Image size 240x240 | Slice index 109 | Brain | Image width 240 mm, 1.00 mm slice spacing
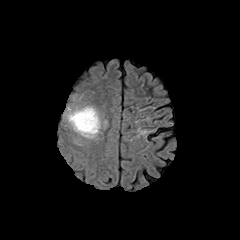
FLAIR magnetic resonance.
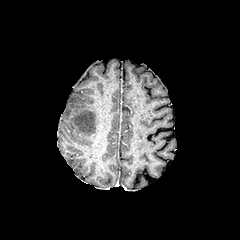
Same slice, T1-weighted MR image.
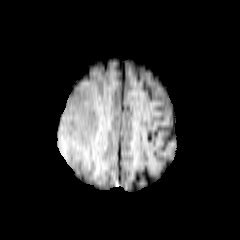
Post-contrast T1-weighted magnetic resonance.
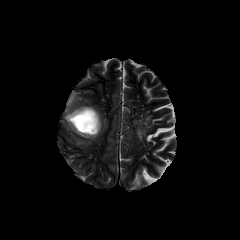
Same slice, T2-weighted MR image.
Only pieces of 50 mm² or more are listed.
The necrotic tumor core appears at 71, 110, 94, 133. The largest peritumoral edema region is bounded by 64, 105, 101, 139.